FLAIR MR image.
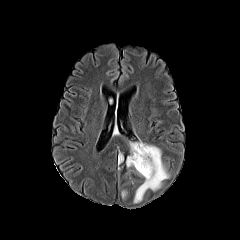
T1-weighted MRI.
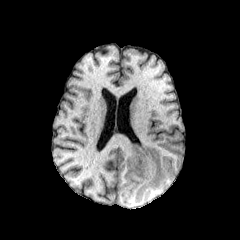
Post-contrast T1-weighted magnetic resonance.
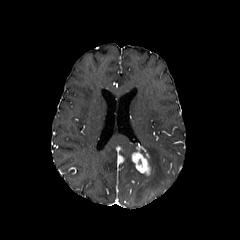
T2-weighted magnetic resonance.
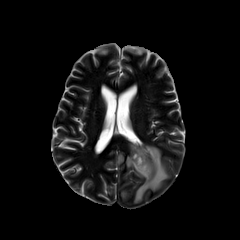
240x240, Head
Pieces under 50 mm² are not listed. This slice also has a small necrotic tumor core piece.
enhancing tumor: bounding box {"x1": 131, "y1": 144, "x2": 150, "y2": 175}
peritumoral edema: bounding box {"x1": 126, "y1": 143, "x2": 137, "y2": 167}, {"x1": 134, "y1": 143, "x2": 169, "y2": 203}